Axial plane | Image width 240 mm, 1.00 mm slice spacing | Head
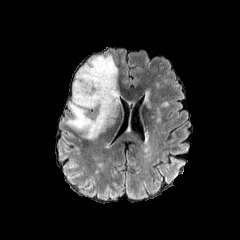
FLAIR MR.
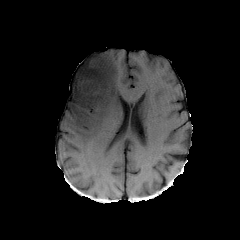
T1-weighted MR image.
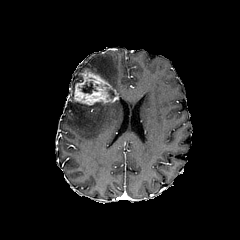
Post-contrast T1-weighted magnetic resonance.
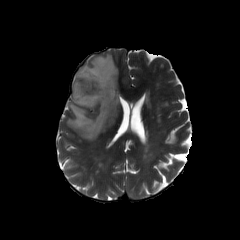
T2-weighted MRI.
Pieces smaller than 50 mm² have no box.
The enhancing tumor is located at bbox=[72, 68, 118, 105]. The peritumoral edema lies within bbox=[66, 54, 120, 139]. The largest necrotic tumor core region is bounded by bbox=[82, 81, 96, 93].